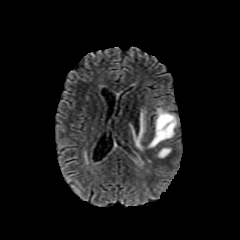
FLAIR MR.
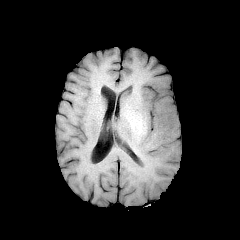
T1-weighted MR image.
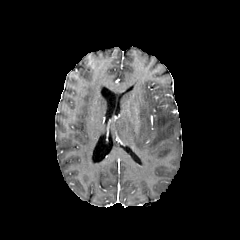
Post-contrast T1-weighted MR.
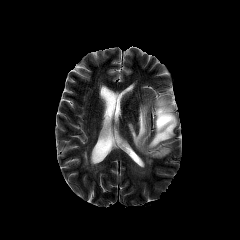
Same slice, T2-weighted MR image.
Brain | Axial plane
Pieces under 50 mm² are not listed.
The 2 largest peritumoral edema regions appear at bbox(129, 101, 178, 151); bbox(156, 147, 171, 157).